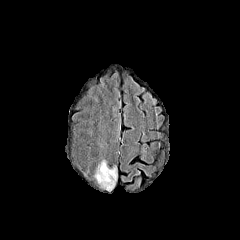
FLAIR MR.
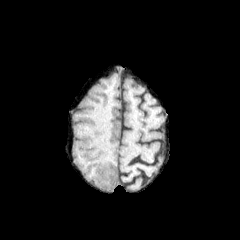
T1-weighted magnetic resonance.
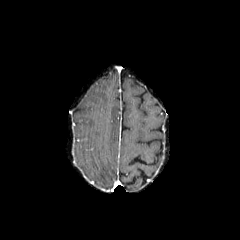
Post-contrast T1-weighted MR.
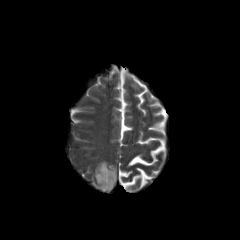
Same slice, T2-weighted MR.
Brain, 240x240
peritumoral edema: <box>95,160,117,191</box>